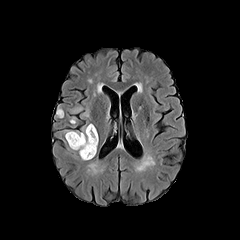
FLAIR MR image.
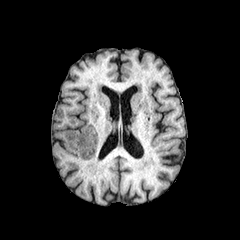
Same slice, T1-weighted MR.
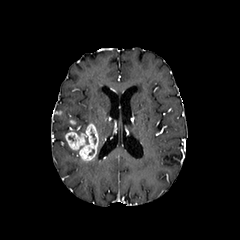
Post-contrast T1-weighted MR.
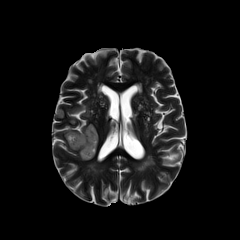
T2-weighted MR.
240x240 px | Head
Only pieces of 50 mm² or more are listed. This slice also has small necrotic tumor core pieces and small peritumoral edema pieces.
enhancing tumor at l=65, t=123, r=98, b=160